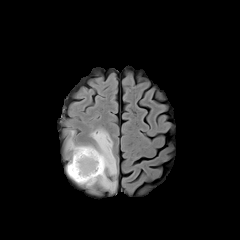
FLAIR MR.
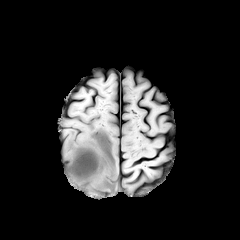
T1-weighted MR.
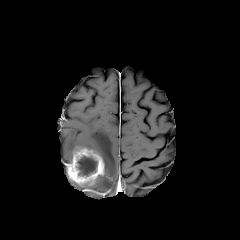
Post-contrast T1-weighted MR image.
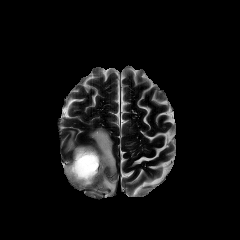
Same slice, T2-weighted magnetic resonance.
Brain | 240x240 px
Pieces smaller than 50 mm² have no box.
necrotic tumor core: box=[77, 156, 97, 176] | enhancing tumor: box=[66, 146, 104, 186] | peritumoral edema: box=[66, 128, 117, 191]